FLAIR MR image.
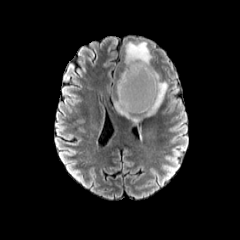
T1-weighted magnetic resonance.
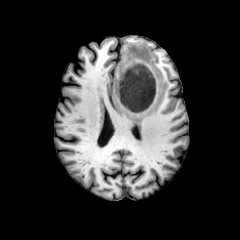
Post-contrast T1-weighted MR.
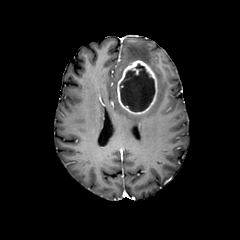
T2-weighted MR.
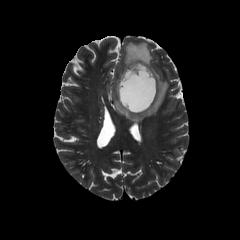
Brain. 240x240.
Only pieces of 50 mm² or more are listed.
<segmentation>
  <enhancing_tumor>(117,60,157,114)</enhancing_tumor>
  <peritumoral_edema>(114,66,168,121), (125,42,151,65)</peritumoral_edema>
  <necrotic_tumor_core>(120,64,154,111)</necrotic_tumor_core>
</segmentation>